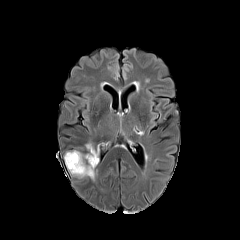
FLAIR MR image.
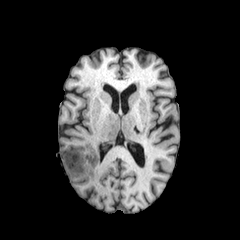
T1-weighted magnetic resonance.
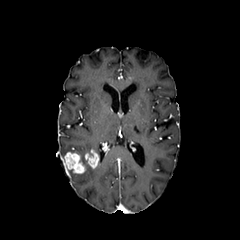
Same slice, post-contrast T1-weighted magnetic resonance.
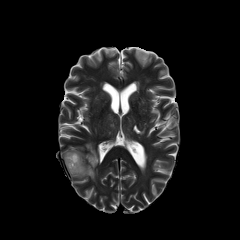
T2-weighted MR image.
Axial plane
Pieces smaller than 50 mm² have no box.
enhancing tumor: (64,152,85,173), (84,149,98,168)
peritumoral edema: (69,164,95,179)